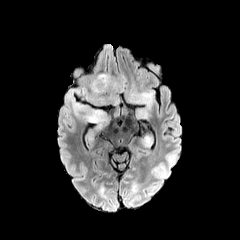
FLAIR MR image.
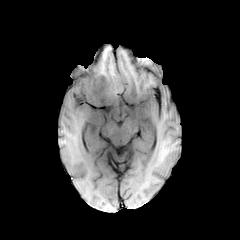
T1-weighted MRI.
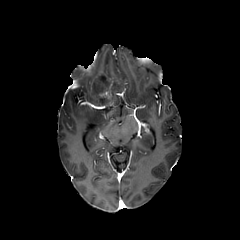
Same slice, post-contrast T1-weighted MR.
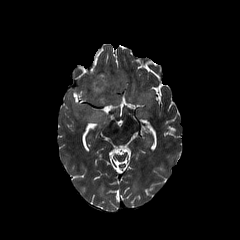
T2-weighted MR of the same slice.
240x240 px
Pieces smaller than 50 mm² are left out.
peritumoral_edema:
  - 124:90:154:117
  - 67:74:125:125